Slice index 56. Head.
FLAIR MR.
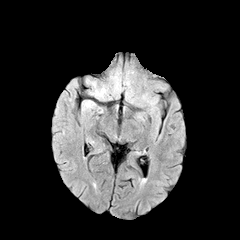
T1-weighted magnetic resonance.
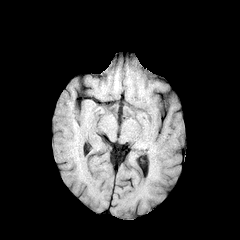
Post-contrast T1-weighted MR image.
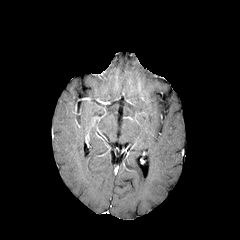
T2-weighted magnetic resonance.
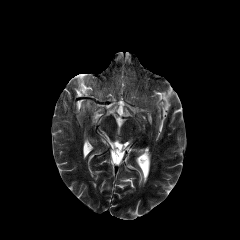
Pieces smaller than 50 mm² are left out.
peritumoral edema = (94, 89, 105, 96)